Slice 43 of 155. Axial plane.
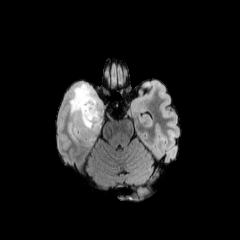
FLAIR MR image.
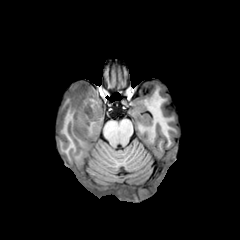
Same slice, T1-weighted MR.
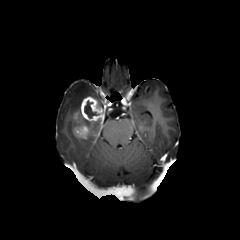
Same slice, post-contrast T1-weighted MR.
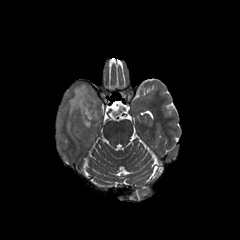
T2-weighted MR.
enhancing_tumor:
  - 73, 96, 103, 138
necrotic_tumor_core:
  - 84, 100, 98, 118
peritumoral_edema:
  - 79, 120, 101, 145
  - 68, 83, 102, 139